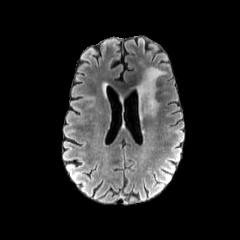
FLAIR MRI.
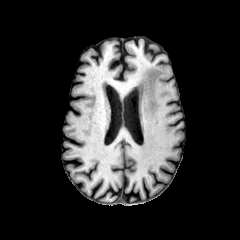
T1-weighted magnetic resonance.
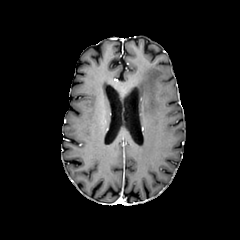
Same slice, post-contrast T1-weighted MRI.
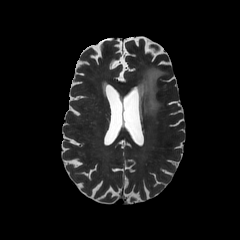
T2-weighted magnetic resonance.
peritumoral edema: 137:67:166:117